FLAIR MRI.
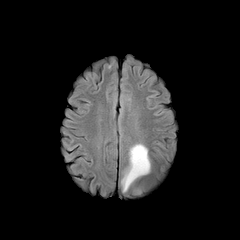
T1-weighted magnetic resonance.
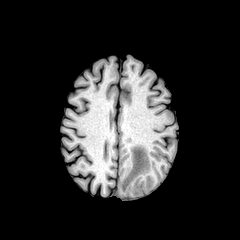
Post-contrast T1-weighted magnetic resonance.
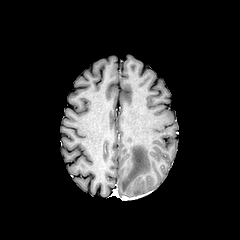
T2-weighted MR image.
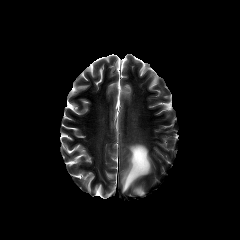
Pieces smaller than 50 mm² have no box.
The largest peritumoral edema region is at rect(121, 143, 150, 192).